Axial plane, Slice index 110
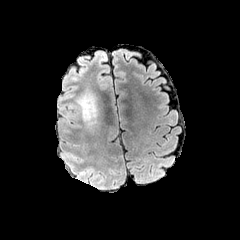
FLAIR magnetic resonance.
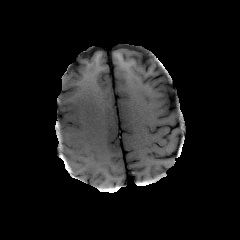
T1-weighted MR.
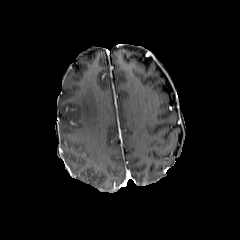
Post-contrast T1-weighted magnetic resonance.
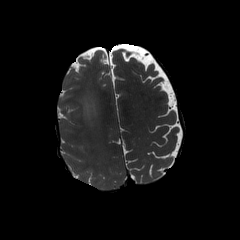
T2-weighted MR.
peritumoral edema: region(76, 91, 96, 125)